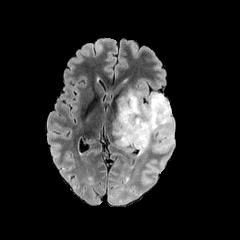
FLAIR MR.
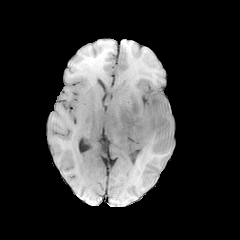
Same slice, T1-weighted magnetic resonance.
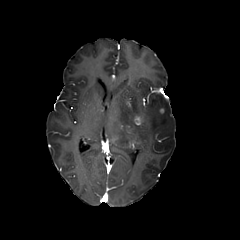
Same slice, post-contrast T1-weighted MR image.
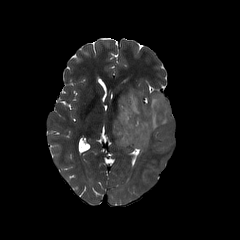
T2-weighted MRI.
Axial view. Head. 240x240 px.
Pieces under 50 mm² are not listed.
The largest enhancing tumor region appears at bbox(132, 114, 144, 126). The largest peritumoral edema region lies within bbox(113, 91, 173, 155).